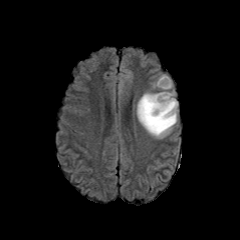
FLAIR magnetic resonance.
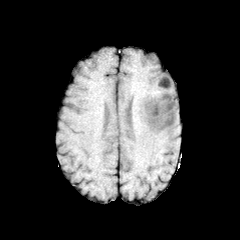
T1-weighted MRI.
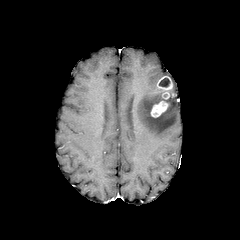
Same slice, post-contrast T1-weighted magnetic resonance.
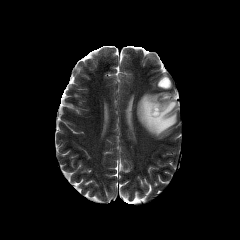
T2-weighted MR image of the same slice.
Image size 240x240
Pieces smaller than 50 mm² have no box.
peritumoral edema — {"x1": 137, "y1": 90, "x2": 177, "y2": 138}
necrotic tumor core — {"x1": 159, "y1": 78, "x2": 169, "y2": 86}
enhancing tumor — {"x1": 157, "y1": 76, "x2": 172, "y2": 99}, {"x1": 150, "y1": 101, "x2": 169, "y2": 117}